Brain | Image width 240 mm | Slice index 122
FLAIR magnetic resonance.
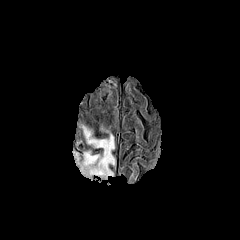
T1-weighted MR image.
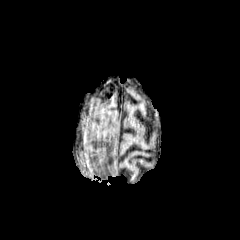
Post-contrast T1-weighted MR image.
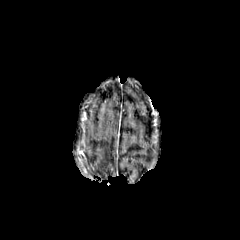
T2-weighted MR image.
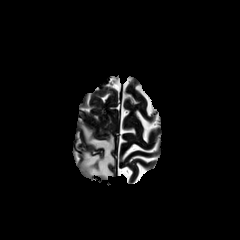
Annotated regions:
* peritumoral edema: [x1=78, y1=126, x2=114, y2=178]